Image size 240x240; Brain
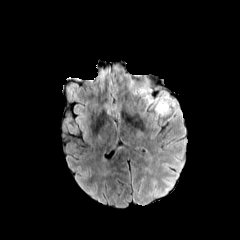
FLAIR MR image.
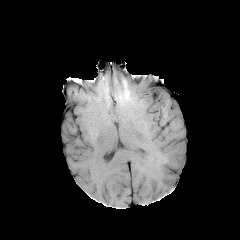
T1-weighted MR image.
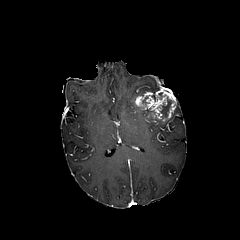
Post-contrast T1-weighted MRI.
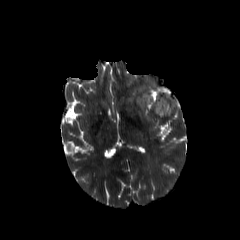
T2-weighted MR image of the same slice.
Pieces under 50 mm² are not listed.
peritumoral edema — bbox=[134, 84, 151, 95]
necrotic tumor core — bbox=[161, 97, 173, 116]
enhancing tumor — bbox=[135, 88, 177, 118]